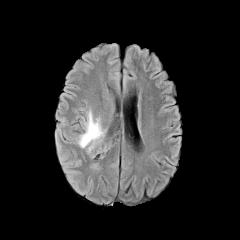
FLAIR MRI.
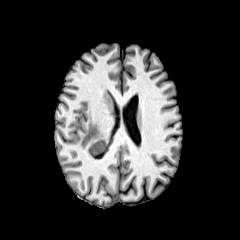
T1-weighted MR of the same slice.
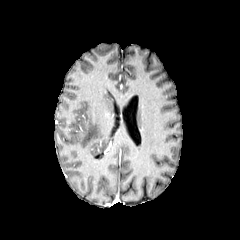
Post-contrast T1-weighted MR image.
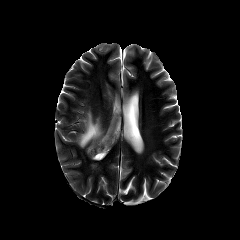
T2-weighted magnetic resonance.
240x240
{"peritumoral_edema": ["(77,110,106,155)"]}